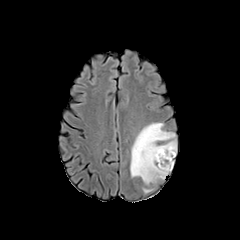
FLAIR MRI.
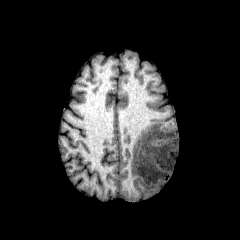
T1-weighted MR image.
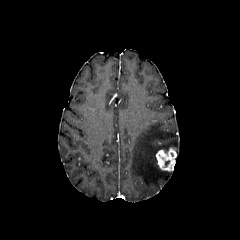
Post-contrast T1-weighted MRI of the same slice.
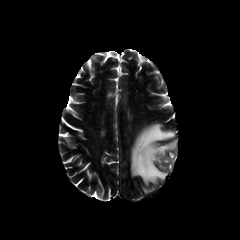
T2-weighted MRI of the same slice.
Brain. 240x240.
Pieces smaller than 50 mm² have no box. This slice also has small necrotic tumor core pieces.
peritumoral_edema:
  - l=130, t=123, r=176, b=185
enhancing_tumor:
  - l=155, t=147, r=176, b=171